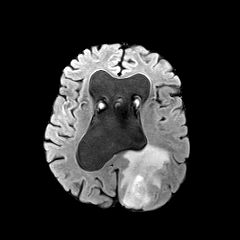
FLAIR MRI.
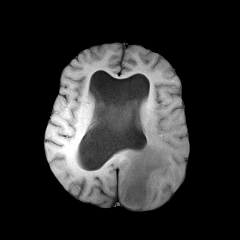
Same slice, T1-weighted MR image.
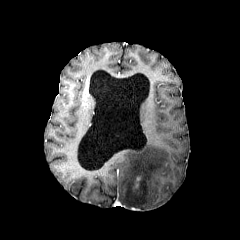
Post-contrast T1-weighted MRI.
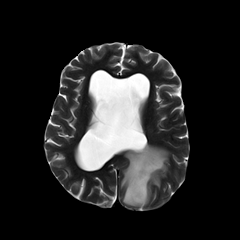
Same slice, T2-weighted magnetic resonance.
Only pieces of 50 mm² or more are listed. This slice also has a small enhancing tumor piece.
The peritumoral edema lies within [121,144,168,207].